FLAIR MR.
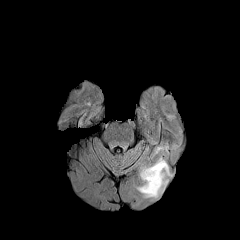
T1-weighted MR image.
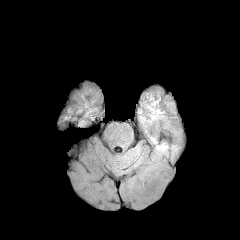
Post-contrast T1-weighted MRI.
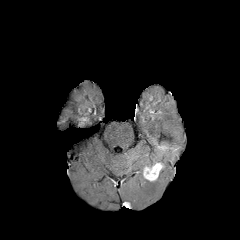
T2-weighted magnetic resonance.
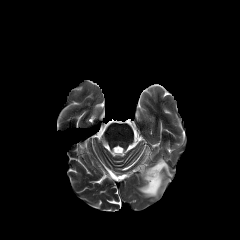
Head | 240x240
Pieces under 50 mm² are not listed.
<segmentation>
  <peritumoral_edema>137 157 172 198</peritumoral_edema>
  <enhancing_tumor>143 163 163 181</enhancing_tumor>
</segmentation>